FLAIR MRI.
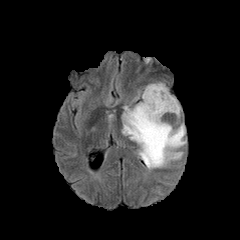
T1-weighted MR.
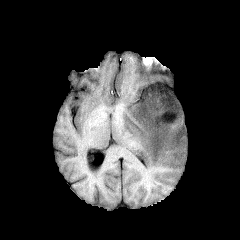
Post-contrast T1-weighted MR image.
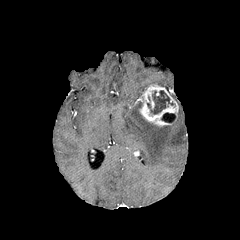
T2-weighted MR.
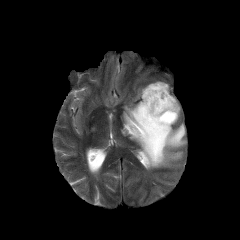
Head
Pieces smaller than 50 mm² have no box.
peritumoral edema: x1=122 y1=101 x2=186 y2=169
enhancing tumor: x1=139 y1=83 x2=178 y2=126
necrotic tumor core: x1=147 y1=90 x2=173 y2=114, x1=161 y1=112 x2=176 y2=122